FLAIR MR image.
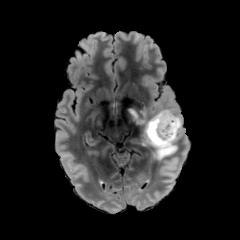
T1-weighted MR image.
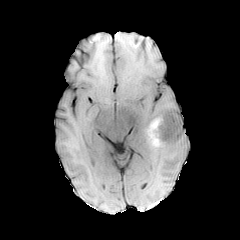
Post-contrast T1-weighted MR.
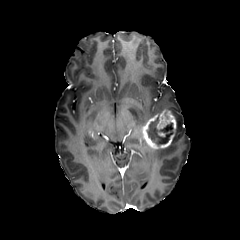
T2-weighted MRI.
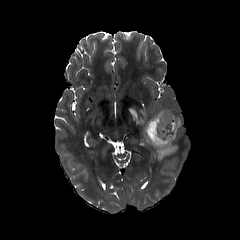
Head
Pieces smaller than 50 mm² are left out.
necrotic tumor core at (148, 117, 173, 145)
peritumoral edema at (127, 107, 182, 160)
enhancing tumor at (140, 109, 177, 149)